FLAIR MRI.
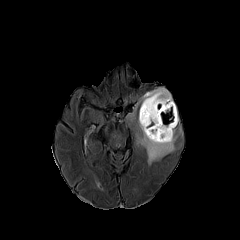
T1-weighted MR.
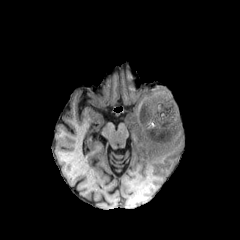
Post-contrast T1-weighted MRI.
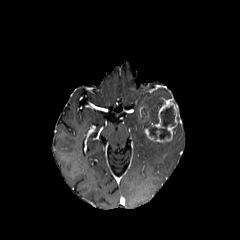
T2-weighted magnetic resonance.
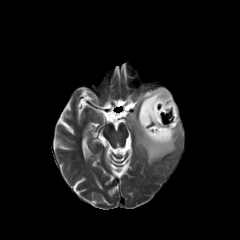
Head
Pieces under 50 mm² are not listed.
2 necrotic tumor core regions appear at l=149, t=106, r=175, b=139; l=140, t=106, r=147, b=118. The largest enhancing tumor region lies within l=144, t=98, r=178, b=142. The largest peritumoral edema region is located at l=136, t=88, r=177, b=164.